FLAIR magnetic resonance.
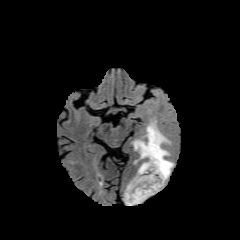
T1-weighted MR image.
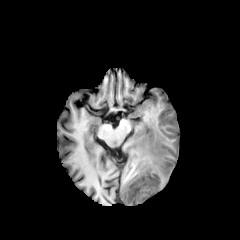
Post-contrast T1-weighted magnetic resonance.
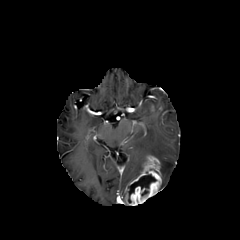
T2-weighted MR.
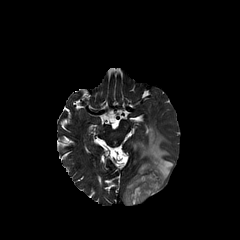
Brain. Axial slice. 240x240.
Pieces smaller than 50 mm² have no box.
The largest peritumoral edema region is bounded by 132:120:173:187. The largest necrotic tumor core region is located at 128:174:156:202. The enhancing tumor is bounded by 124:155:161:205.